Brain | Axial view
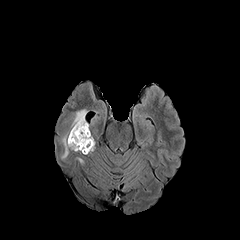
FLAIR MR image.
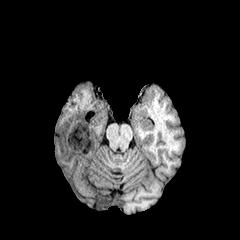
T1-weighted MR image.
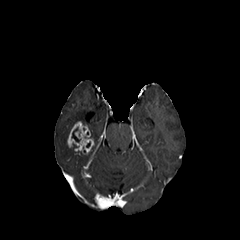
Post-contrast T1-weighted MR.
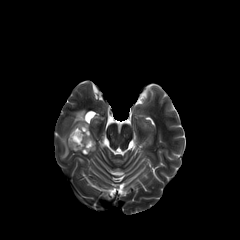
T2-weighted magnetic resonance.
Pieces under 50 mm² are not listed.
peritumoral edema = [61, 131, 77, 159], [70, 109, 89, 130]
enhancing tumor = [67, 121, 94, 154]
necrotic tumor core = [72, 127, 80, 142]